FLAIR MR image.
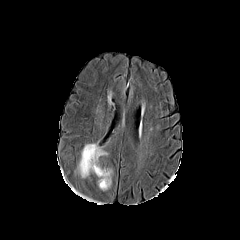
T1-weighted MR image.
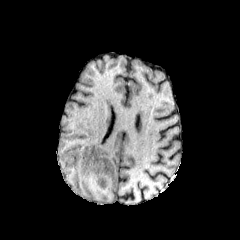
Post-contrast T1-weighted MRI.
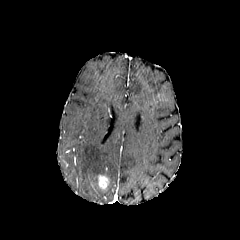
T2-weighted MRI.
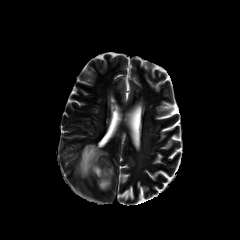
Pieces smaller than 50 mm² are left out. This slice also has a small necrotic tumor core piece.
peritumoral edema: (left=78, top=144, right=112, bottom=190) | enhancing tumor: (left=98, top=175, right=109, bottom=188)